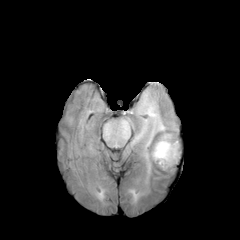
FLAIR MRI.
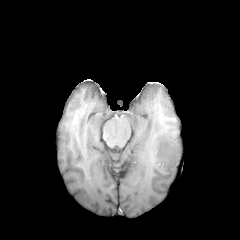
Same slice, T1-weighted MR.
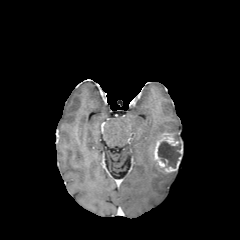
Post-contrast T1-weighted magnetic resonance.
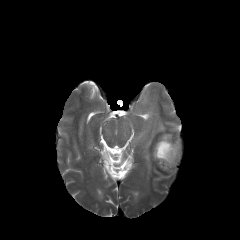
T2-weighted MR image.
Brain.
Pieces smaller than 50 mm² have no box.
necrotic_tumor_core:
  - x1=158, y1=141, x2=181, y2=168
peritumoral_edema:
  - x1=132, y1=95, x2=179, y2=173
  - x1=130, y1=190, x2=138, y2=201
enhancing_tumor:
  - x1=153, y1=133, x2=182, y2=172